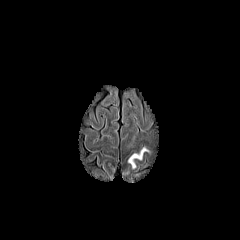
FLAIR MR.
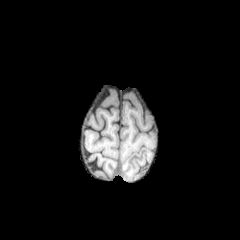
Same slice, T1-weighted MR image.
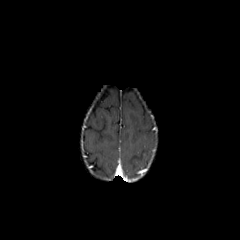
Post-contrast T1-weighted MR image.
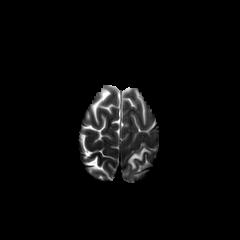
T2-weighted MR.
Axial view, Brain
The peritumoral edema is at (x1=128, y1=148, x2=148, y2=168).